Head
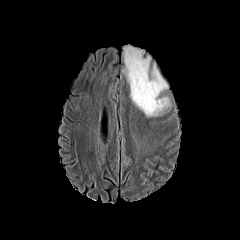
FLAIR MR.
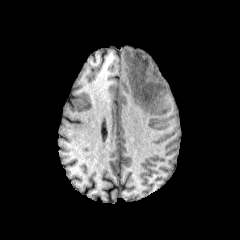
T1-weighted MRI.
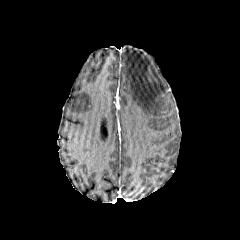
Post-contrast T1-weighted MR image of the same slice.
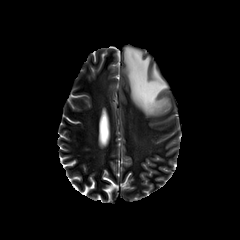
Same slice, T2-weighted MR.
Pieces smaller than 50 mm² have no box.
* peritumoral edema: <box>122,45,171,117</box>